FLAIR magnetic resonance.
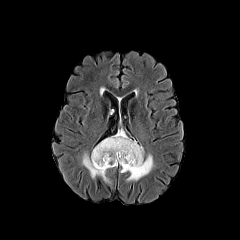
T1-weighted MR image.
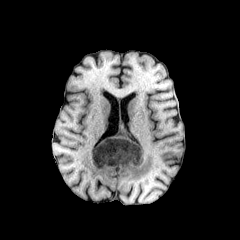
Post-contrast T1-weighted MRI.
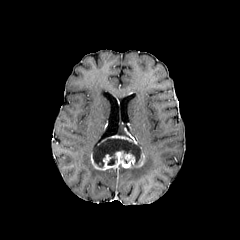
T2-weighted magnetic resonance.
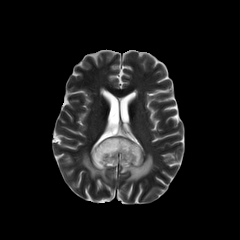
Brain
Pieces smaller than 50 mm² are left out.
2 peritumoral edema regions appear at (x1=82, y1=153, x2=110, y2=183), (x1=120, y1=154, x2=153, y2=181). The largest necrotic tumor core region is located at (x1=93, y1=138, x2=141, y2=167). 2 enhancing tumor regions appear at (x1=91, y1=145, x2=144, y2=170), (x1=100, y1=135, x2=137, y2=144).